FLAIR magnetic resonance.
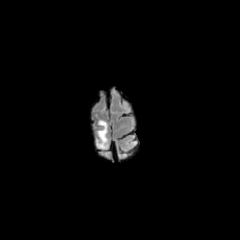
T1-weighted MR image.
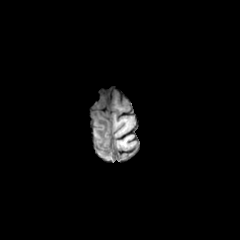
Post-contrast T1-weighted MR.
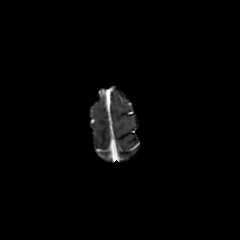
T2-weighted MR image.
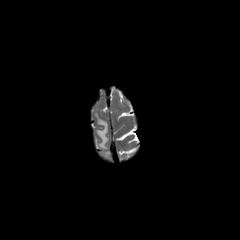
Head
* peritumoral edema: left=96, top=120, right=108, bottom=156